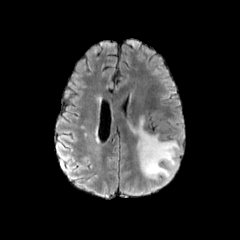
FLAIR MR image.
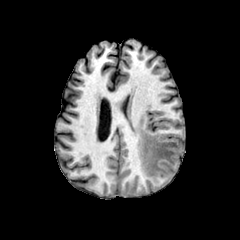
T1-weighted MR.
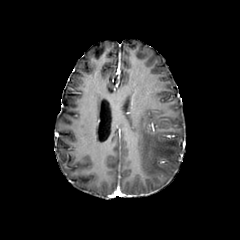
Same slice, post-contrast T1-weighted MRI.
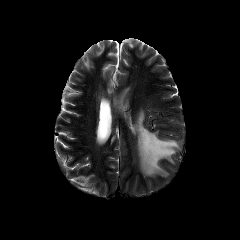
T2-weighted magnetic resonance.
Head. Axial slice.
Segmented structures:
* peritumoral edema: (left=134, top=119, right=179, bottom=177)